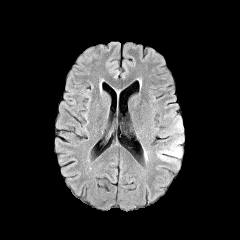
FLAIR MR image.
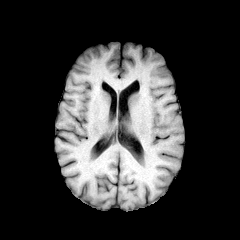
T1-weighted MR image of the same slice.
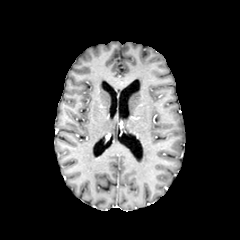
Same slice, post-contrast T1-weighted MR.
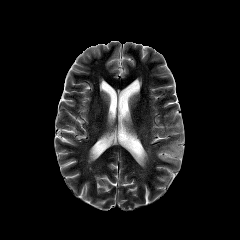
Same slice, T2-weighted MR image.
Axial view
{"peritumoral_edema": ["bbox(154, 115, 183, 166)"]}